FLAIR MR image.
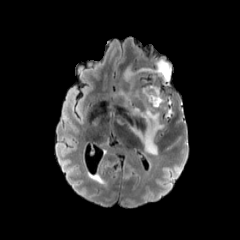
T1-weighted MR image.
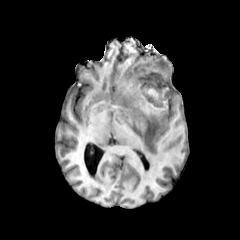
Post-contrast T1-weighted magnetic resonance.
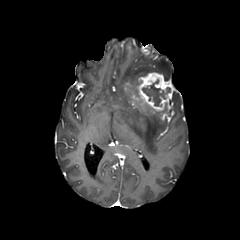
T2-weighted MRI.
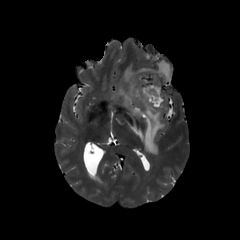
Brain.
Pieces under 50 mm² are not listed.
The peritumoral edema is at bbox=[118, 58, 171, 155]. The largest necrotic tumor core region lies within bbox=[142, 80, 165, 106]. The largest enhancing tumor region is located at bbox=[137, 72, 174, 111].